Brain. Slice 57 of 155.
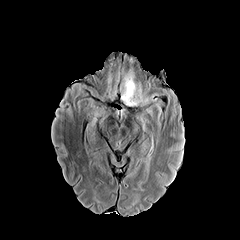
FLAIR MR image.
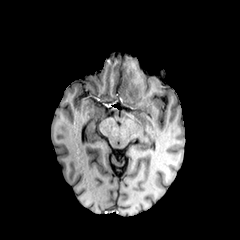
Same slice, T1-weighted MR.
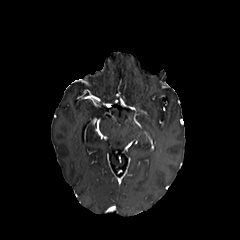
Post-contrast T1-weighted MRI.
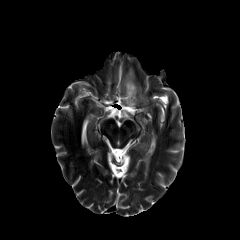
Same slice, T2-weighted magnetic resonance.
• peritumoral edema: 121:72:149:106